Head. Slice 68 of 155. Axial view.
FLAIR MR image.
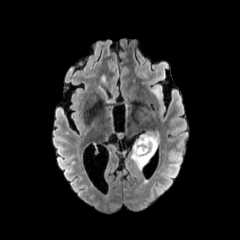
T1-weighted MRI.
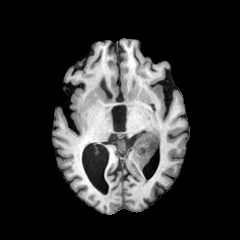
Post-contrast T1-weighted MR image.
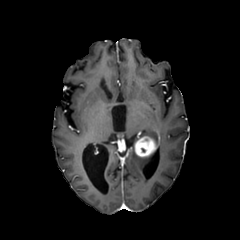
T2-weighted MRI.
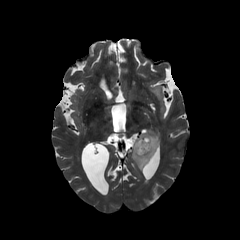
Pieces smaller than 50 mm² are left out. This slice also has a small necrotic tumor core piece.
enhancing tumor = region(134, 135, 157, 157)
peritumoral edema = region(130, 145, 154, 169); region(139, 131, 159, 145)